Brain.
FLAIR magnetic resonance.
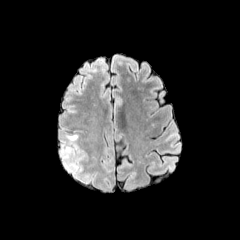
T1-weighted MR.
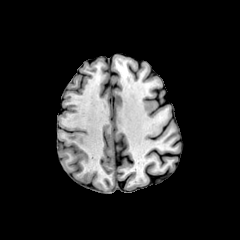
Post-contrast T1-weighted MRI.
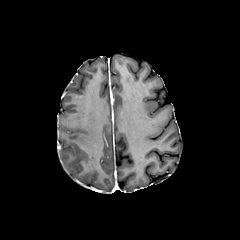
T2-weighted MR image.
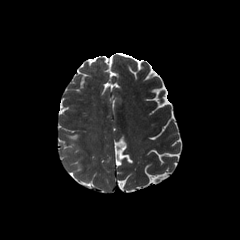
Findings:
• peritumoral edema: {"x1": 61, "y1": 134, "x2": 86, "y2": 171}